FLAIR magnetic resonance.
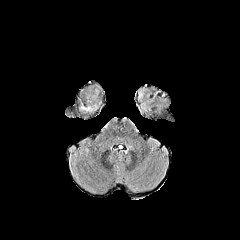
T1-weighted magnetic resonance.
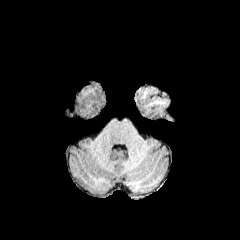
Post-contrast T1-weighted magnetic resonance.
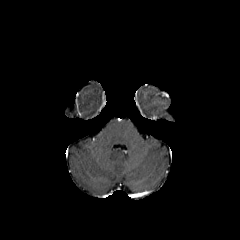
T2-weighted magnetic resonance.
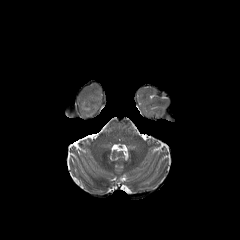
Head; Image size 240x240
Segmented structures:
* peritumoral edema: 79, 105, 96, 112